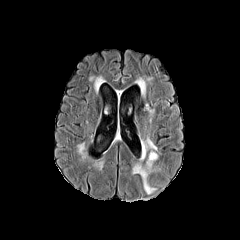
FLAIR MR.
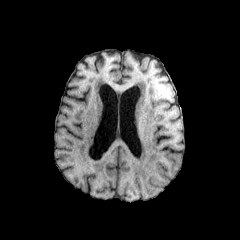
T1-weighted MR image.
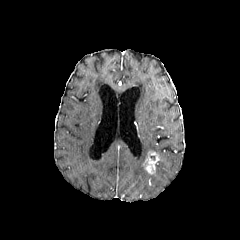
Post-contrast T1-weighted MR.
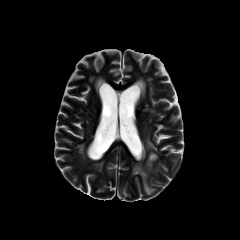
T2-weighted MRI.
240x240 | Axial slice | Head
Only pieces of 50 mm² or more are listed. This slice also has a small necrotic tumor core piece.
enhancing tumor = box=[144, 151, 158, 173]
peritumoral edema = box=[133, 163, 156, 194]; box=[143, 137, 157, 152]